Head, Slice index 129, Image width 240 mm, 1.00 mm slice spacing, Axial view
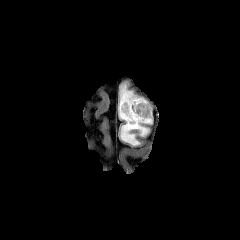
FLAIR MR image.
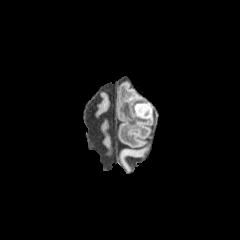
T1-weighted MR image.
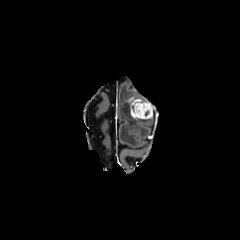
Post-contrast T1-weighted MR image.
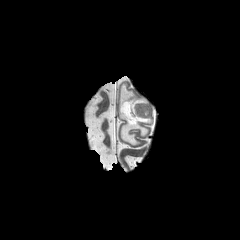
T2-weighted MRI.
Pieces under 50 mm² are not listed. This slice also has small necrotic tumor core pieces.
enhancing_tumor:
  - box(128, 97, 152, 119)
peritumoral_edema:
  - box(118, 84, 152, 145)